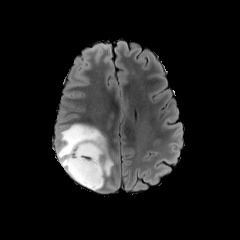
FLAIR magnetic resonance.
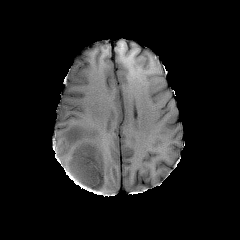
T1-weighted magnetic resonance.
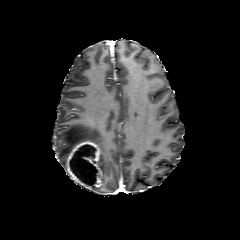
Post-contrast T1-weighted magnetic resonance.
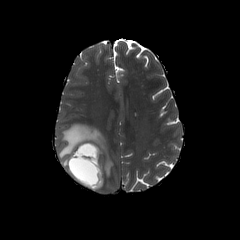
Same slice, T2-weighted MR.
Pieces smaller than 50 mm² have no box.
peritumoral edema at bbox(57, 123, 113, 183)
enhancing tumor at bbox(63, 140, 103, 190)
necrotic tumor core at bbox(70, 145, 97, 186)